FLAIR MR image.
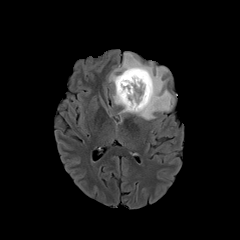
T1-weighted MR.
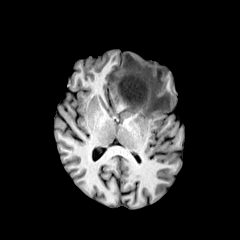
Post-contrast T1-weighted magnetic resonance.
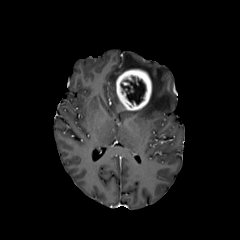
T2-weighted MR.
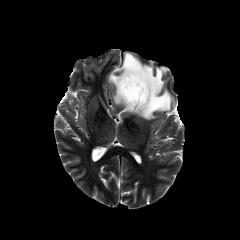
240x240 px; Axial plane; Head
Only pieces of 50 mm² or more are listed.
The largest enhancing tumor region is at x1=116 y1=69 x2=151 y2=110. The necrotic tumor core is bounded by x1=121 y1=76 x2=145 y2=104. The peritumoral edema lies within x1=109 y1=52 x2=174 y2=120.